FLAIR MR.
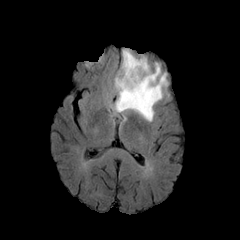
T1-weighted MR image.
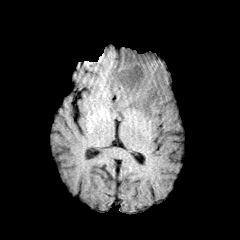
Post-contrast T1-weighted MRI.
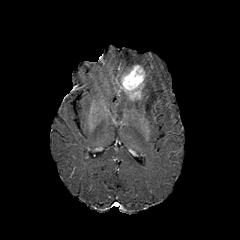
T2-weighted MRI.
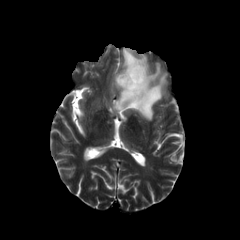
Head
{
  "peritumoral_edema": [
    "l=112, t=48, r=168, b=121"
  ],
  "enhancing_tumor": [
    "l=116, t=64, r=146, b=100"
  ]
}